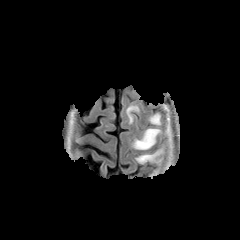
FLAIR magnetic resonance.
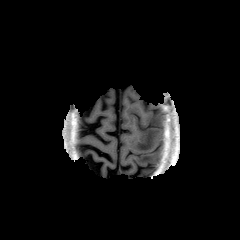
T1-weighted MR image.
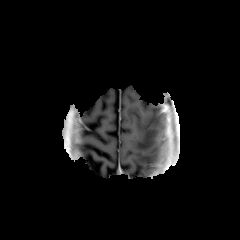
Same slice, post-contrast T1-weighted magnetic resonance.
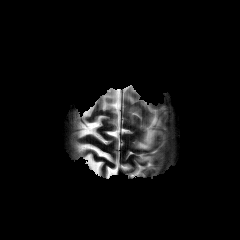
T2-weighted MR.
240x240.
peritumoral edema at 149:114:160:125, 127:106:138:122, 133:128:160:149, 136:151:159:163